Head | Slice 61 of 155 | Image width 240 mm, 1.00 mm slice spacing
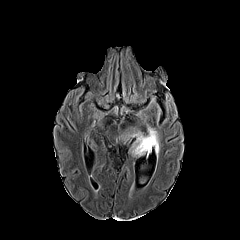
FLAIR MR image.
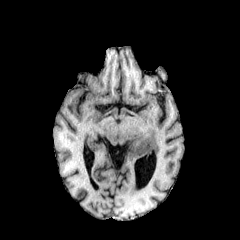
T1-weighted magnetic resonance.
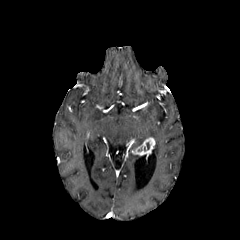
Post-contrast T1-weighted MRI.
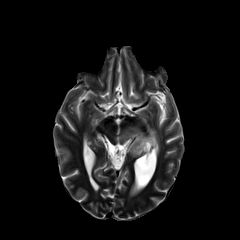
T2-weighted magnetic resonance.
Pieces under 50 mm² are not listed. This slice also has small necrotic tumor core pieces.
{
  "enhancing_tumor": [
    "l=131, t=137, r=155, b=155"
  ],
  "peritumoral_edema": [
    "l=121, t=127, r=159, b=154"
  ]
}